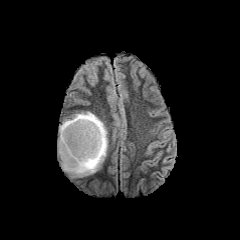
FLAIR MRI.
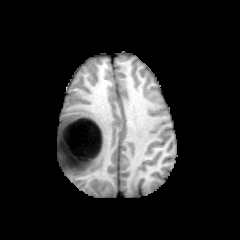
Same slice, T1-weighted magnetic resonance.
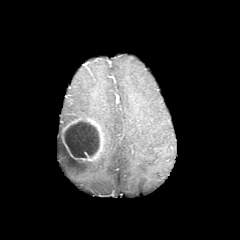
Same slice, post-contrast T1-weighted MR.
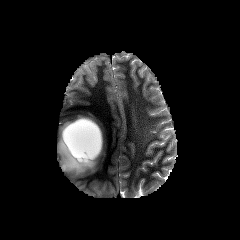
T2-weighted MR.
240x240
The enhancing tumor is bounded by 62, 117, 103, 161. The peritumoral edema is at 57, 112, 107, 176. The necrotic tumor core is at 63, 119, 99, 158.